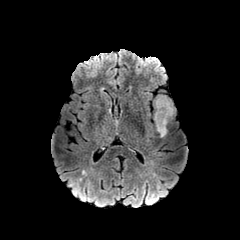
FLAIR MR.
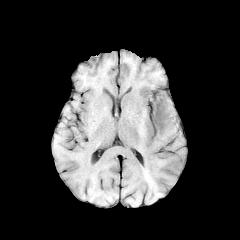
T1-weighted MR.
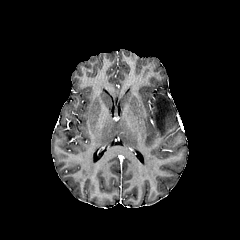
Same slice, post-contrast T1-weighted MR image.
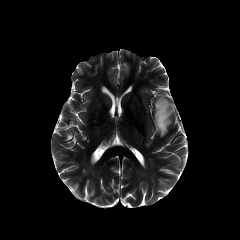
T2-weighted MRI of the same slice.
Brain
Annotated regions:
• peritumoral edema: <box>154,95,173,137</box>